Axial view, Slice 30 of 155, Brain, Image width 240 mm, 1.00 mm slice spacing
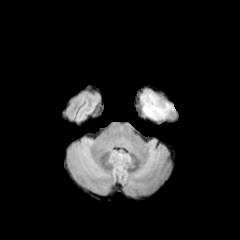
FLAIR magnetic resonance.
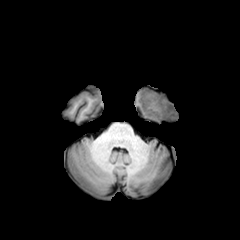
Same slice, T1-weighted MR.
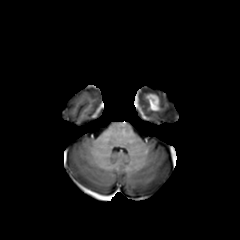
Same slice, post-contrast T1-weighted MR.
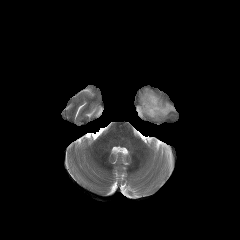
T2-weighted MR.
peritumoral edema: [x1=141, y1=91, x2=174, y2=119] | enhancing tumor: [x1=146, y1=94, x2=159, y2=110]